Image covers 240 mm x 240 mm. 240x240 px. Head. Slice index 71.
FLAIR magnetic resonance.
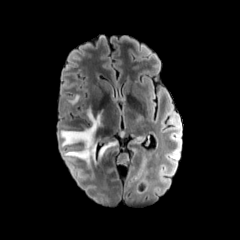
T1-weighted MR image.
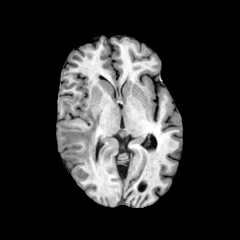
Post-contrast T1-weighted MR image.
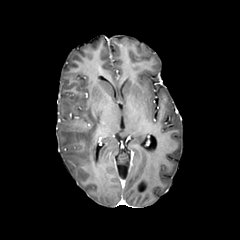
T2-weighted MR image.
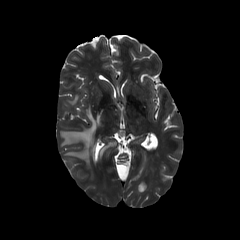
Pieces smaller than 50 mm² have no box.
Segmented structures:
* peritumoral edema: box=[100, 141, 117, 153]; box=[60, 105, 103, 164]; box=[68, 95, 79, 104]